FLAIR MR image.
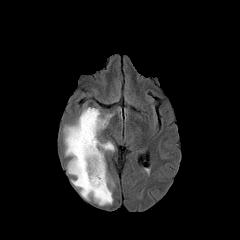
T1-weighted magnetic resonance.
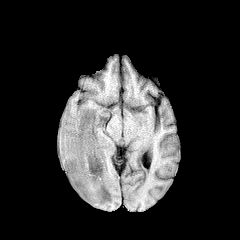
Post-contrast T1-weighted MRI.
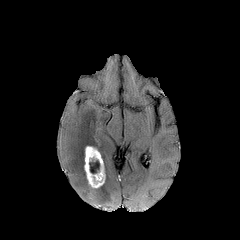
T2-weighted MRI.
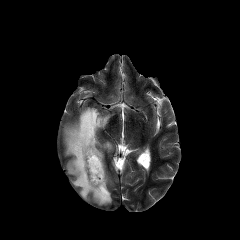
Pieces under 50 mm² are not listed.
<segmentation>
  <enhancing_tumor>84:146:105:188</enhancing_tumor>
  <necrotic_tumor_core>89:160:99:173</necrotic_tumor_core>
  <peritumoral_edema>63:107:114:205</peritumoral_edema>
</segmentation>